FLAIR MR image.
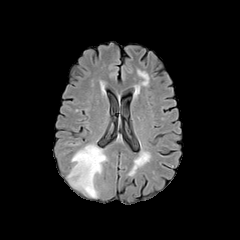
T1-weighted MR image.
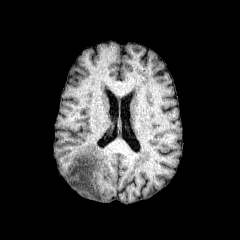
Post-contrast T1-weighted MR image.
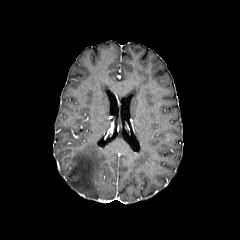
T2-weighted MR.
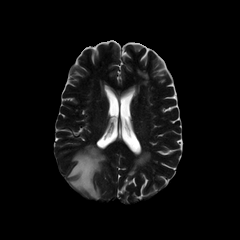
Brain
Annotated regions:
* peritumoral edema: (left=67, top=144, right=106, bottom=197)